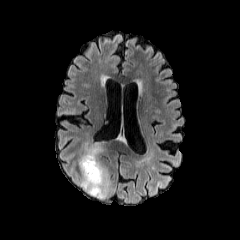
FLAIR MRI.
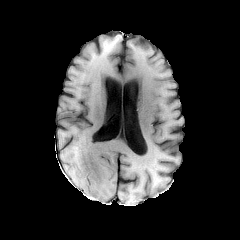
Same slice, T1-weighted MRI.
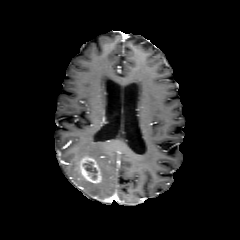
Post-contrast T1-weighted MR image.
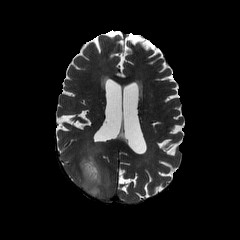
T2-weighted MR.
Axial plane. Head.
peritumoral edema = 68, 143, 110, 199
necrotic tumor core = 83, 161, 97, 179
enhancing tumor = 80, 155, 101, 183